FLAIR MR.
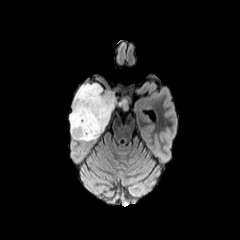
T1-weighted MR image.
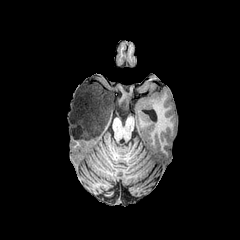
Post-contrast T1-weighted MR image.
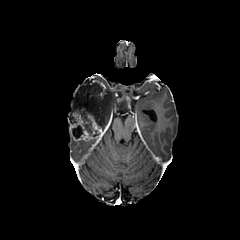
T2-weighted MRI.
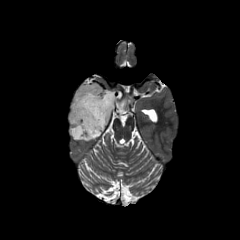
240x240, Axial slice, Head
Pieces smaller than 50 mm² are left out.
Segmented structures:
* necrotic tumor core: (x1=72, y1=125, x2=83, y2=138), (x1=80, y1=114, x2=92, y2=133)
* peritumoral edema: (x1=69, y1=82, x2=126, y2=130)
* enhancing tumor: (x1=69, y1=108, x2=102, y2=140)